Head, Axial view
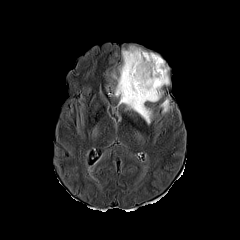
FLAIR MR.
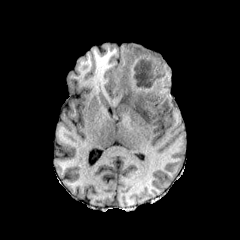
T1-weighted MR.
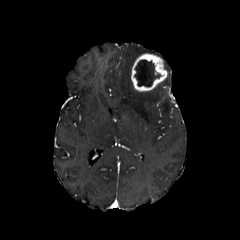
Same slice, post-contrast T1-weighted MR image.
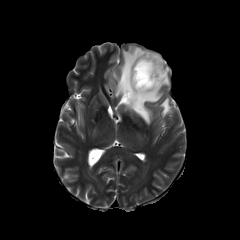
T2-weighted MRI.
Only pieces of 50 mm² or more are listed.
- peritumoral edema: rect(113, 46, 169, 124); rect(160, 98, 171, 113)
- enhancing tumor: rect(131, 53, 167, 91)
- necrotic tumor core: rect(134, 59, 160, 86)